FLAIR MR image.
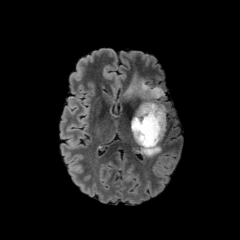
T1-weighted MR.
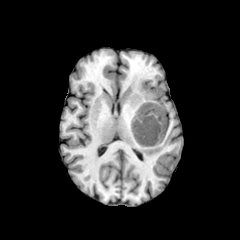
Post-contrast T1-weighted MR image.
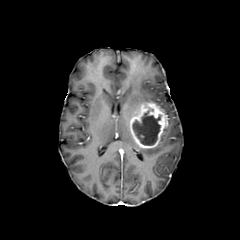
T2-weighted MRI.
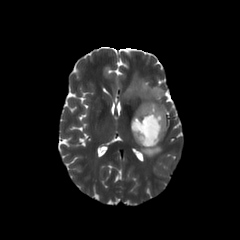
Axial view
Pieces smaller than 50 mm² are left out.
<segmentation>
  <peritumoral_edema>left=125, top=73, right=167, bottom=114; left=141, top=144, right=161, bottom=156</peritumoral_edema>
  <enhancing_tumor>left=130, top=102, right=168, bottom=148</enhancing_tumor>
  <necrotic_tumor_core>left=133, top=111, right=160, bottom=145</necrotic_tumor_core>
</segmentation>